Axial slice.
FLAIR MR.
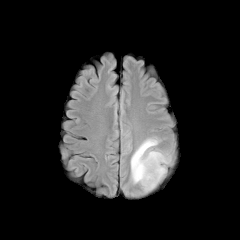
T1-weighted MR image.
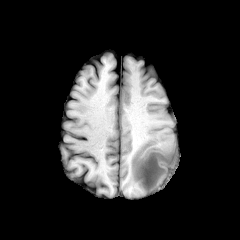
Post-contrast T1-weighted MR image.
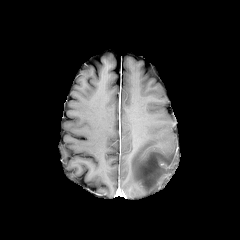
T2-weighted MR.
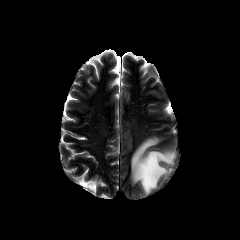
peritumoral edema: (x1=131, y1=137, x2=172, y2=192)